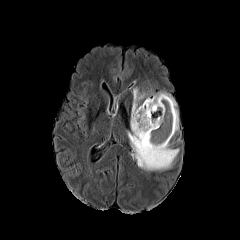
FLAIR MR image.
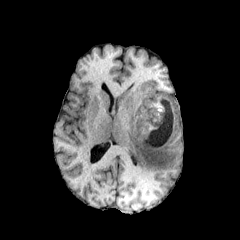
Same slice, T1-weighted magnetic resonance.
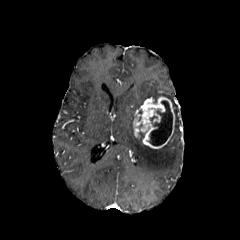
Same slice, post-contrast T1-weighted MRI.
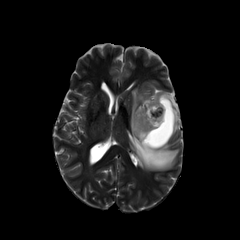
T2-weighted magnetic resonance.
Image size 240x240; Axial plane
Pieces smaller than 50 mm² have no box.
The largest necrotic tumor core region is at 149:101:172:145. The enhancing tumor is bounded by 133:96:175:149. The 2 largest peritumoral edema regions are located at 151:92:178:135, 127:88:179:170.